Brain. Slice 69 of 155. Axial slice. Image width 240 mm.
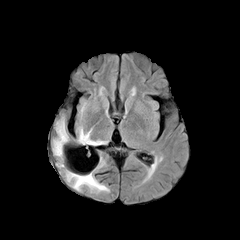
FLAIR MRI.
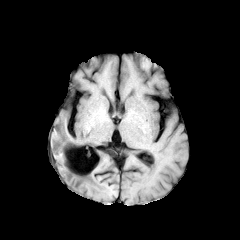
Same slice, T1-weighted MR.
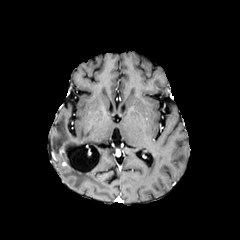
Post-contrast T1-weighted MR image of the same slice.
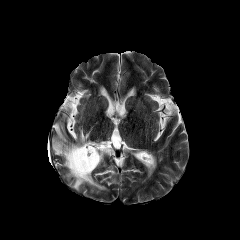
T2-weighted MR image of the same slice.
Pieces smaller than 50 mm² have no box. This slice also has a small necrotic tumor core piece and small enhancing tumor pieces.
peritumoral edema: [79, 128, 104, 144], [66, 171, 107, 190], [52, 119, 67, 156]